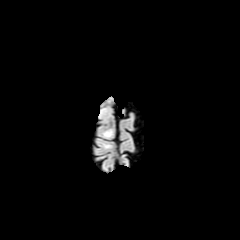
FLAIR MR.
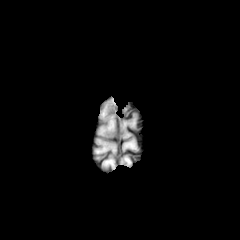
T1-weighted MR image.
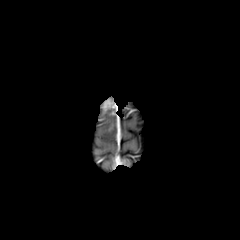
Post-contrast T1-weighted magnetic resonance.
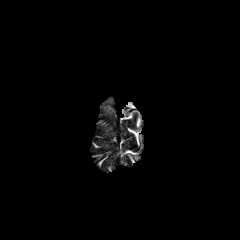
Same slice, T2-weighted MRI.
Axial view | Brain
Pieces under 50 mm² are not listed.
The enhancing tumor is at left=102, top=99, right=110, bottom=110. The largest peritumoral edema region is bounded by left=103, top=129, right=113, bottom=137.